FLAIR MRI.
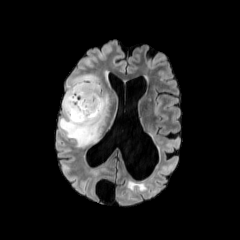
T1-weighted MRI.
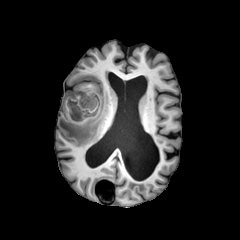
Post-contrast T1-weighted MR image.
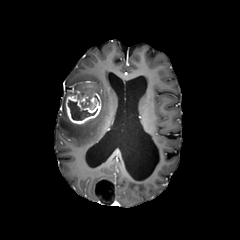
T2-weighted MRI.
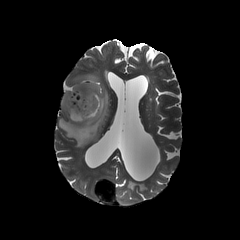
Brain. Image size 240x240. Axial view.
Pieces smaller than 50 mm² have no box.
enhancing_tumor:
  - x1=65 y1=88 x2=101 y2=123
necrotic_tumor_core:
  - x1=68 y1=100 x2=97 y2=120
  - x1=80 y1=97 x2=90 y2=107
peritumoral_edema:
  - x1=58 y1=74 x2=109 y2=146